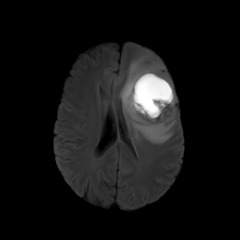
FLAIR MR.
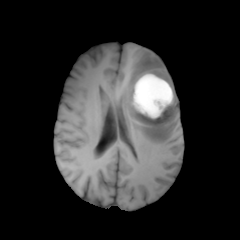
T1-weighted magnetic resonance.
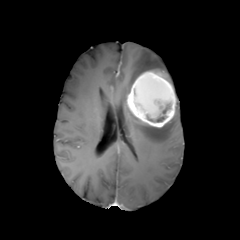
Post-contrast T1-weighted magnetic resonance.
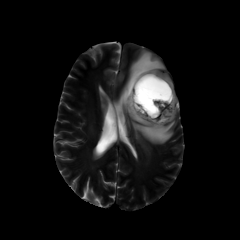
T2-weighted MR image of the same slice.
Brain
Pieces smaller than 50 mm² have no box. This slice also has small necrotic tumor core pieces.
Findings:
* peritumoral edema: 119, 49, 176, 144
* enhancing tumor: 127, 71, 176, 127